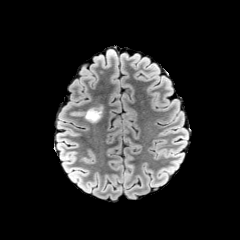
FLAIR magnetic resonance.
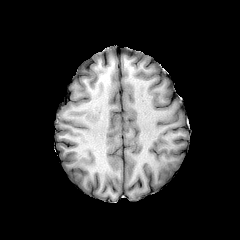
T1-weighted MR.
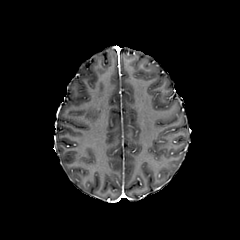
Same slice, post-contrast T1-weighted MR image.
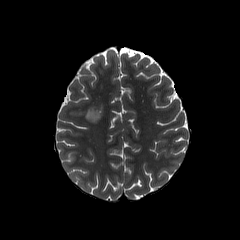
T2-weighted magnetic resonance of the same slice.
Axial view. Head. 240x240 px.
Findings:
- peritumoral edema: [x1=85, y1=106, x2=102, y2=122]